FLAIR MR image.
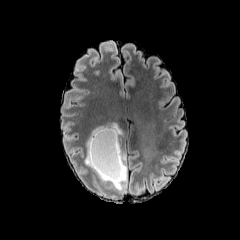
T1-weighted MR.
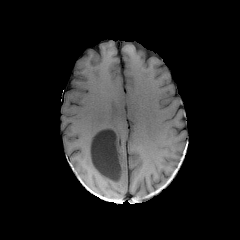
Post-contrast T1-weighted magnetic resonance.
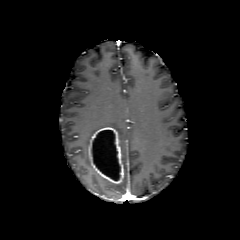
T2-weighted MR image.
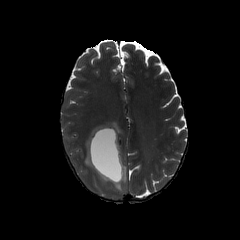
240x240, Brain
peritumoral edema: bounding box <bbox>85, 122, 122, 182</bbox>, <bbox>111, 146, 127, 191</bbox>
necrotic tumor core: bounding box <bbox>91, 130, 120, 180</bbox>
enhancing tumor: bounding box <bbox>88, 127, 124, 183</bbox>